Slice 53 of 155. Image size 240x240.
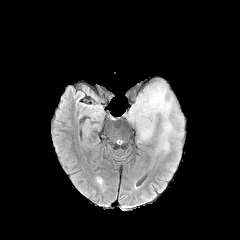
FLAIR MRI.
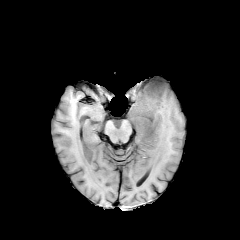
T1-weighted magnetic resonance.
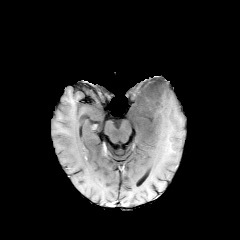
Post-contrast T1-weighted MR.
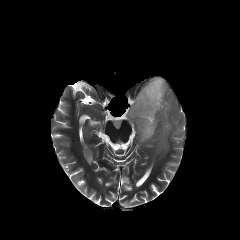
T2-weighted MRI of the same slice.
Findings:
* peritumoral edema: <bbox>126, 77, 182, 156</bbox>